FLAIR magnetic resonance.
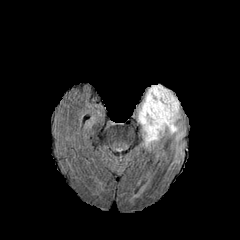
T1-weighted MRI.
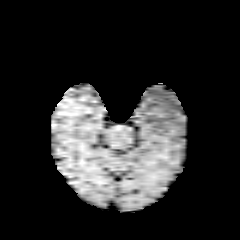
Post-contrast T1-weighted MRI.
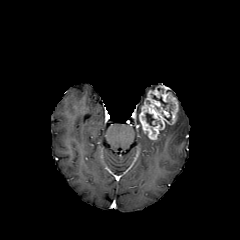
T2-weighted MRI.
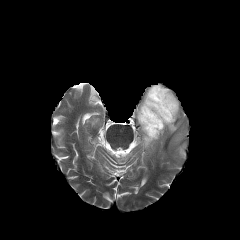
Brain
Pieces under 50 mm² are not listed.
The largest peritumoral edema region is located at x1=142, y1=123, x2=183, y2=147. The 2 largest necrotic tumor core regions are bounded by x1=145, y1=113, x2=156, y2=126; x1=153, y1=95, x2=167, y2=108. The enhancing tumor is bounded by x1=138, y1=85, x2=178, y2=139.